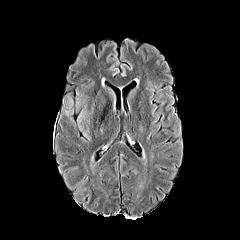
FLAIR MRI.
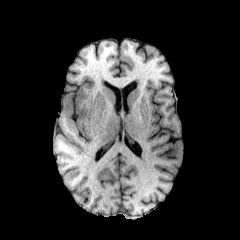
T1-weighted MR image.
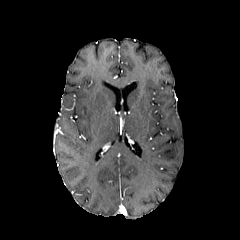
Post-contrast T1-weighted magnetic resonance of the same slice.
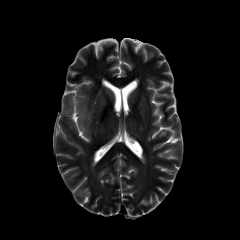
T2-weighted MR image.
Brain.
The peritumoral edema appears at [77, 108, 91, 140].